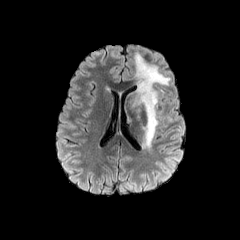
FLAIR MRI.
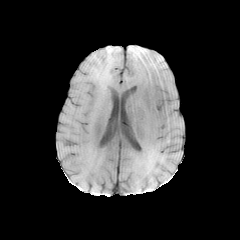
Same slice, T1-weighted MR image.
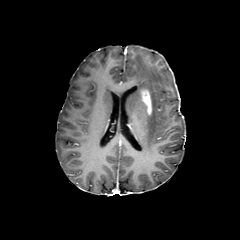
Post-contrast T1-weighted MR image.
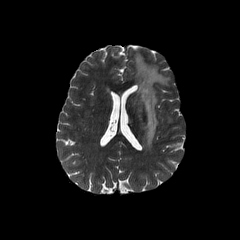
T2-weighted MR image.
240x240
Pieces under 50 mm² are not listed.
Segmented structures:
• enhancing tumor: left=140, top=88, right=152, bottom=115
• peritumoral edema: left=128, top=52, right=170, bottom=148